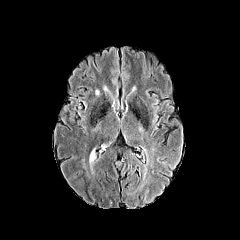
FLAIR MRI.
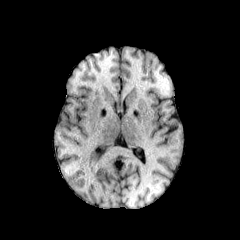
Same slice, T1-weighted MR.
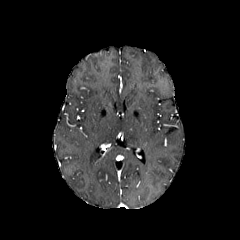
Post-contrast T1-weighted MR image.
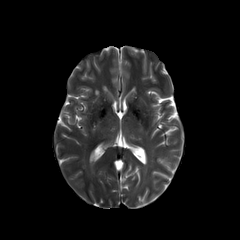
Same slice, T2-weighted MRI.
<segmentation>
  <peritumoral_edema>89 149 95 162</peritumoral_edema>
</segmentation>